FLAIR MR.
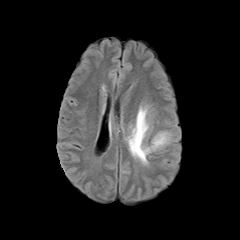
T1-weighted MRI.
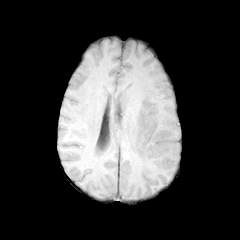
Post-contrast T1-weighted MR image.
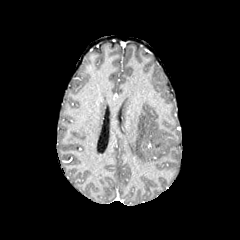
T2-weighted magnetic resonance.
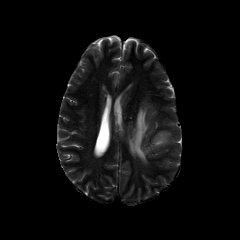
Head | Axial slice
The peritumoral edema appears at (128, 105, 171, 164).